FLAIR MR.
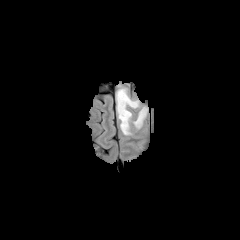
T1-weighted MR.
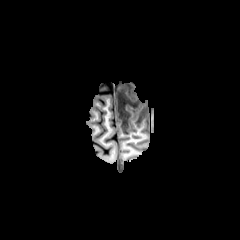
Post-contrast T1-weighted MR.
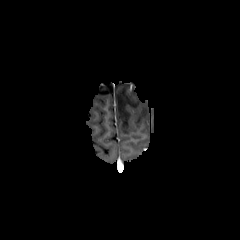
T2-weighted MR image.
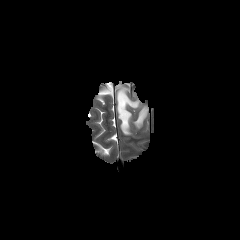
Axial slice; Image size 240x240
peritumoral edema at 132,107,147,128; 116,87,139,135